FLAIR magnetic resonance.
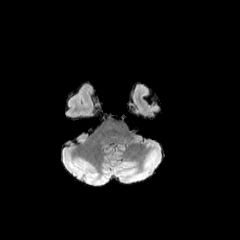
T1-weighted magnetic resonance.
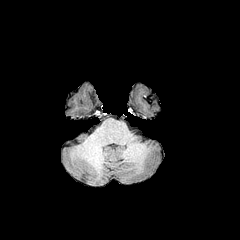
Post-contrast T1-weighted magnetic resonance.
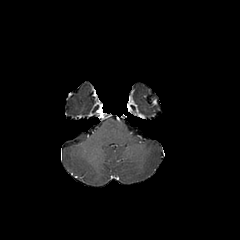
T2-weighted MR.
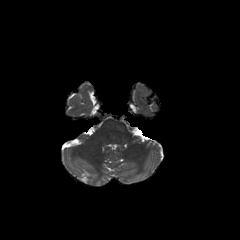
Axial plane
<segmentation>
  <peritumoral_edema>box=[132, 83, 145, 99]</peritumoral_edema>
</segmentation>